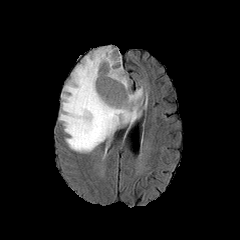
FLAIR MR.
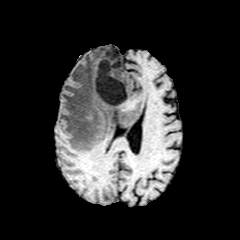
T1-weighted magnetic resonance.
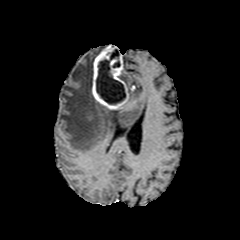
Post-contrast T1-weighted MRI.
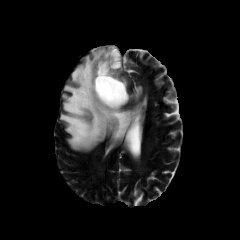
T2-weighted MR.
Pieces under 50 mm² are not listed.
2 peritumoral edema regions appear at (59, 47, 142, 152), (120, 71, 128, 87). The enhancing tumor appears at (92, 45, 128, 109). The largest necrotic tumor core region is located at (96, 49, 126, 104).